240x240 px | Image covers 240 mm x 240 mm | Head
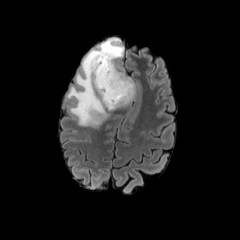
FLAIR MR.
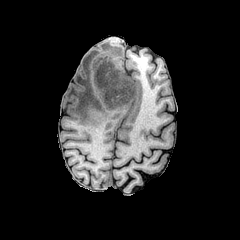
T1-weighted MR of the same slice.
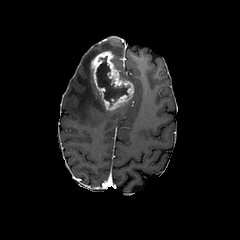
Same slice, post-contrast T1-weighted MR.
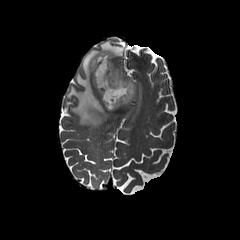
T2-weighted magnetic resonance.
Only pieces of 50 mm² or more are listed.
necrotic_tumor_core:
  - [96, 56, 129, 105]
peritumoral_edema:
  - [116, 71, 135, 109]
  - [67, 38, 123, 127]
enhancing_tumor:
  - [90, 51, 134, 110]